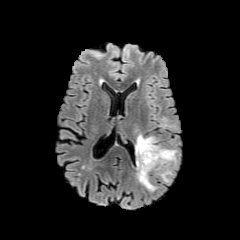
FLAIR magnetic resonance.
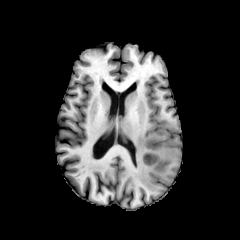
T1-weighted magnetic resonance.
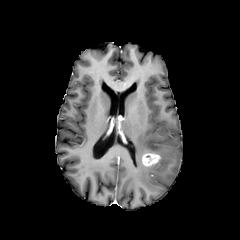
Post-contrast T1-weighted magnetic resonance.
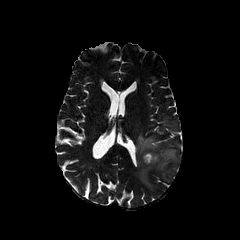
T2-weighted MR image.
Brain
enhancing tumor: bbox(142, 153, 160, 166) | peritumoral edema: bbox(135, 134, 176, 190)